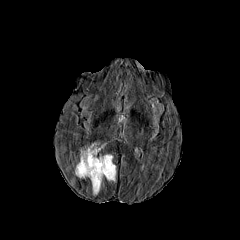
FLAIR MR image.
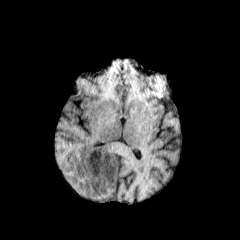
Same slice, T1-weighted MR image.
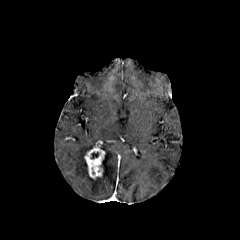
Same slice, post-contrast T1-weighted MR image.
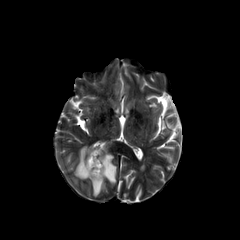
T2-weighted MR image.
Axial plane
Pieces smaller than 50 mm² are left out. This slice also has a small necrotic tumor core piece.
Segmented structures:
- enhancing tumor: bbox=[84, 146, 104, 179]
- peritumoral edema: bbox=[75, 144, 116, 195]